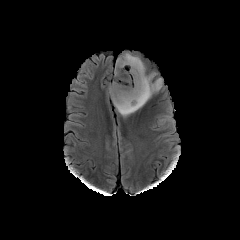
FLAIR MR image.
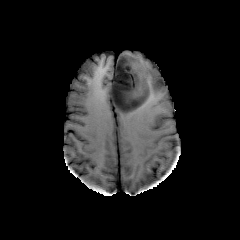
T1-weighted MR.
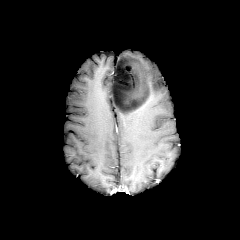
Same slice, post-contrast T1-weighted MR.
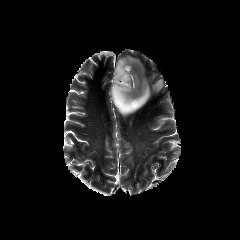
T2-weighted MR.
Axial plane
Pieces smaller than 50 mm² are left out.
<segmentation>
  <necrotic_tumor_core>bbox=[111, 56, 148, 111]</necrotic_tumor_core>
  <peritumoral_edema>bbox=[109, 53, 162, 117]</peritumoral_edema>
</segmentation>